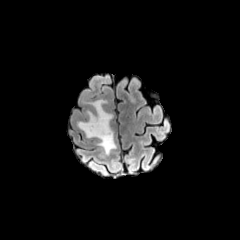
FLAIR MR image.
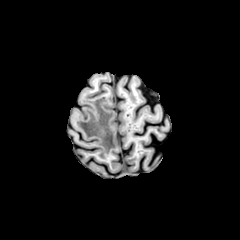
T1-weighted MR.
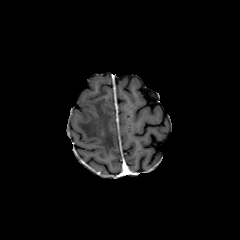
Post-contrast T1-weighted MRI of the same slice.
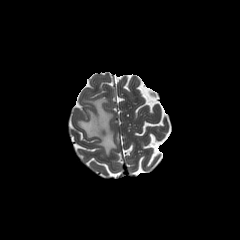
T2-weighted MR image.
peritumoral edema: box=[77, 98, 116, 154]